Brain. Axial view.
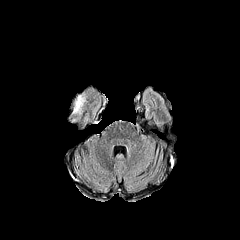
FLAIR MRI.
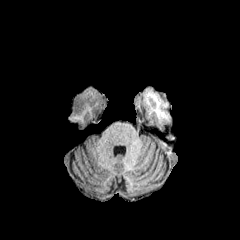
Same slice, T1-weighted MR.
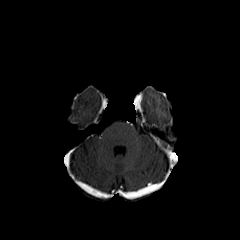
Same slice, post-contrast T1-weighted MR.
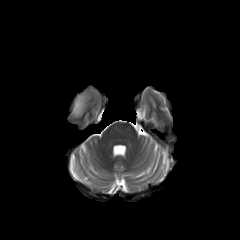
T2-weighted MRI.
• peritumoral edema: (x1=73, y1=94, x2=85, y2=115)